FLAIR MRI.
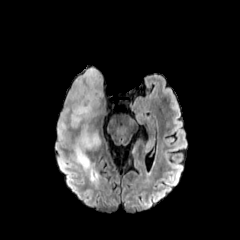
T1-weighted MR image.
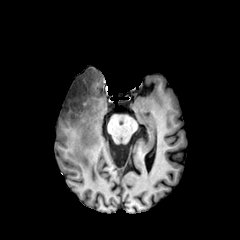
Post-contrast T1-weighted MR.
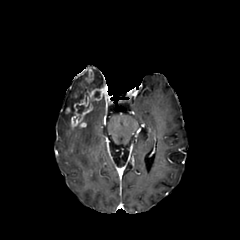
T2-weighted MR.
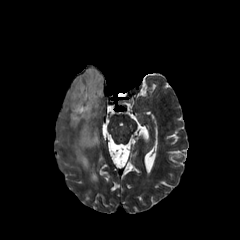
Axial slice
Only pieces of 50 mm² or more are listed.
{
  "necrotic_tumor_core": [
    "left=76, top=105, right=84, bottom=113"
  ],
  "peritumoral_edema": [
    "left=73, top=101, right=100, bottom=169",
    "left=58, top=72, right=86, bottom=138",
    "left=91, top=67, right=103, bottom=87"
  ],
  "enhancing_tumor": [
    "left=71, top=89, right=78, bottom=98",
    "left=70, top=68, right=104, bottom=129"
  ]
}